Slice 43 of 155; Axial view
FLAIR magnetic resonance.
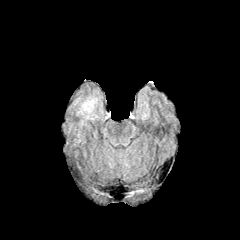
T1-weighted MR image.
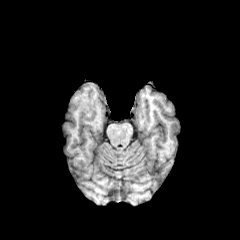
Post-contrast T1-weighted MR image.
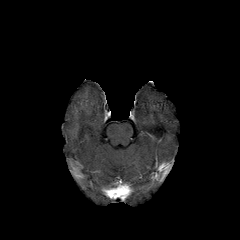
T2-weighted MR.
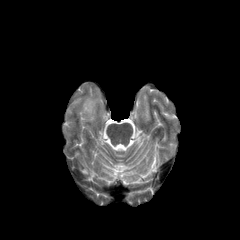
Segmented structures:
• peritumoral edema: [73,93,103,125]